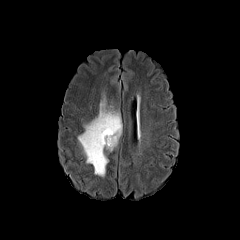
FLAIR MR.
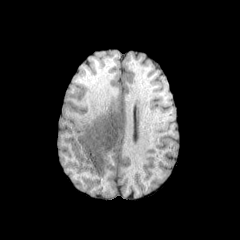
T1-weighted magnetic resonance of the same slice.
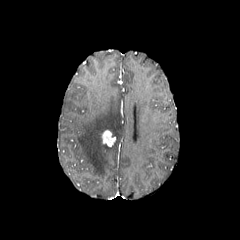
Post-contrast T1-weighted MR.
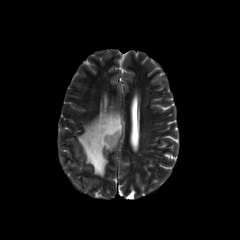
T2-weighted MR image of the same slice.
Axial slice, 240x240 px, Brain
The peritumoral edema is bounded by region(78, 102, 122, 176). The enhancing tumor lies within region(101, 130, 115, 146).